Slice 94 of 155
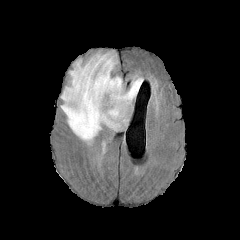
FLAIR MRI.
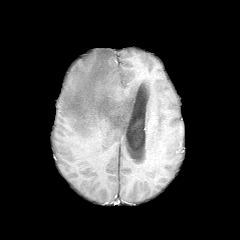
T1-weighted magnetic resonance.
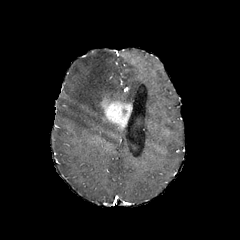
Post-contrast T1-weighted MR.
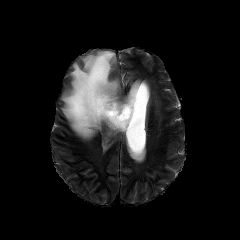
T2-weighted MRI of the same slice.
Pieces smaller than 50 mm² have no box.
The largest peritumoral edema region lies within {"x1": 61, "y1": 51, "x2": 142, "y2": 143}. The enhancing tumor lies within {"x1": 99, "y1": 96, "x2": 132, "y2": 129}.